Image size 240x240, Slice 68 of 155
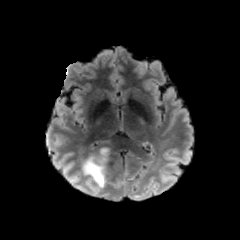
FLAIR MR.
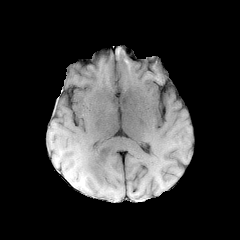
T1-weighted magnetic resonance.
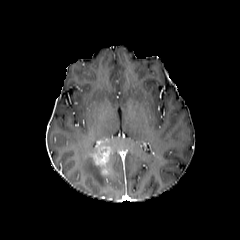
Post-contrast T1-weighted magnetic resonance of the same slice.
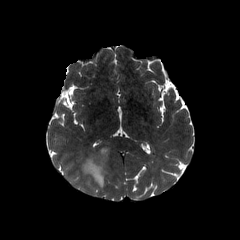
T2-weighted MR.
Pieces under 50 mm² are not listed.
The largest peritumoral edema region lies within <box>81,151,110,192</box>. The enhancing tumor appears at <box>94,148,110,176</box>.